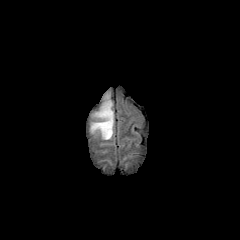
FLAIR MR.
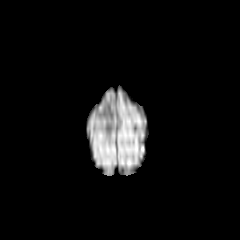
T1-weighted MRI.
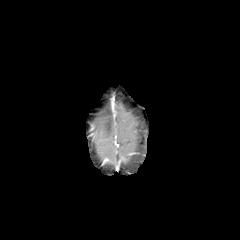
Post-contrast T1-weighted MR.
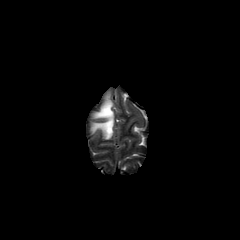
Same slice, T2-weighted magnetic resonance.
240x240
peritumoral_edema:
  - (91,93,114,139)